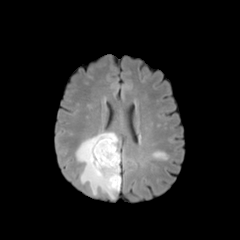
FLAIR magnetic resonance.
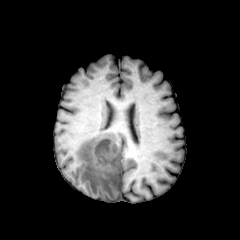
T1-weighted MRI.
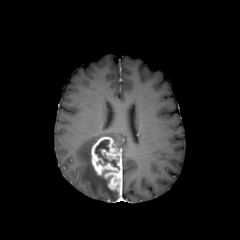
Post-contrast T1-weighted magnetic resonance of the same slice.
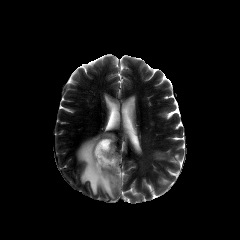
T2-weighted magnetic resonance.
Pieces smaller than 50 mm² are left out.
necrotic tumor core = (95,140,119,169)
peritumoral edema = (76,132,118,199)
enhancing tumor = (91,136,121,191)